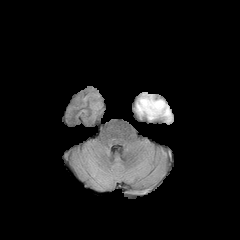
FLAIR MR.
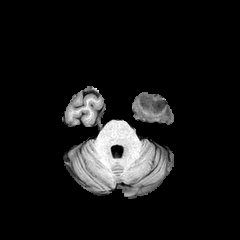
Same slice, T1-weighted magnetic resonance.
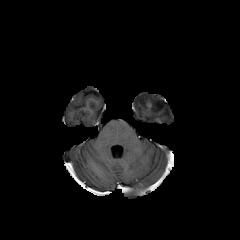
Same slice, post-contrast T1-weighted magnetic resonance.
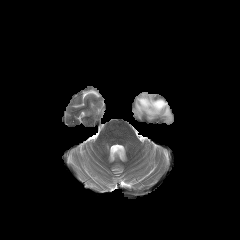
Same slice, T2-weighted MR image.
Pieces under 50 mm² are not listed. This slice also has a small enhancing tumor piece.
peritumoral_edema:
  - 136,93,171,122